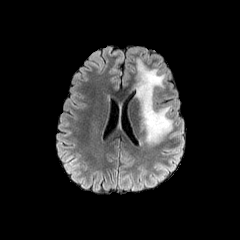
FLAIR magnetic resonance.
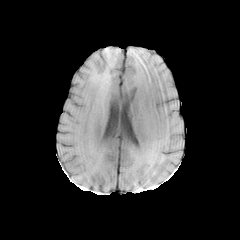
T1-weighted MR image.
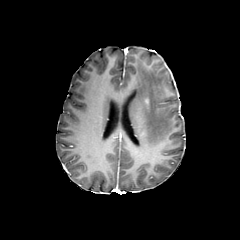
Post-contrast T1-weighted MR image of the same slice.
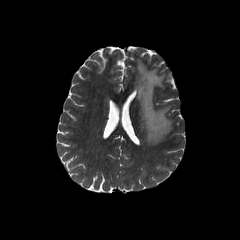
T2-weighted MRI.
240x240
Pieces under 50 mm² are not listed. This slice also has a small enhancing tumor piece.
The peritumoral edema lies within [132, 58, 172, 145].